Axial view; Head; Image width 240 mm, 1.00 mm slice spacing
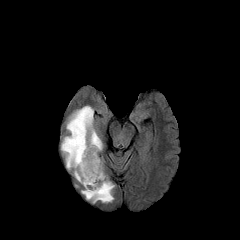
FLAIR MRI.
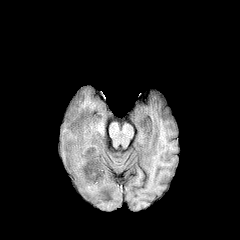
T1-weighted magnetic resonance of the same slice.
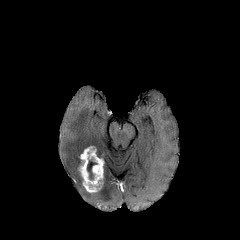
Post-contrast T1-weighted MR.
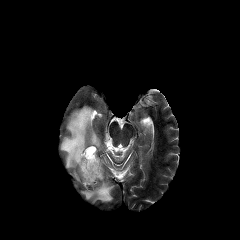
T2-weighted MR image.
<segmentation>
  <necrotic_tumor_core>region(87, 160, 96, 179)</necrotic_tumor_core>
  <enhancing_tumor>region(78, 146, 104, 192)</enhancing_tumor>
  <peritumoral_edema>region(81, 171, 114, 202); region(61, 105, 103, 184)</peritumoral_edema>
</segmentation>